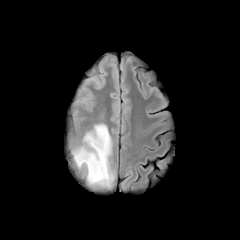
FLAIR MR.
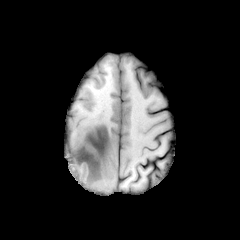
T1-weighted MRI.
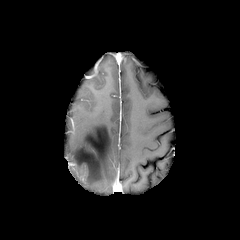
Post-contrast T1-weighted MR of the same slice.
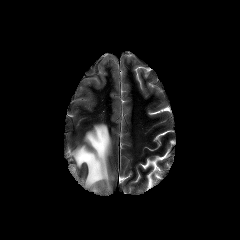
T2-weighted MR image of the same slice.
Brain | 240x240 px
peritumoral edema: bounding box 72, 124, 114, 187